FLAIR magnetic resonance.
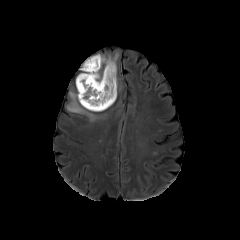
T1-weighted MR.
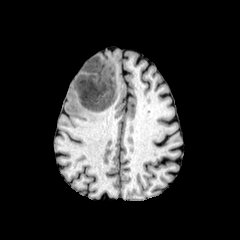
Post-contrast T1-weighted MR image.
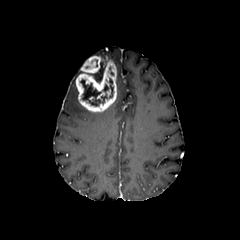
T2-weighted MR image.
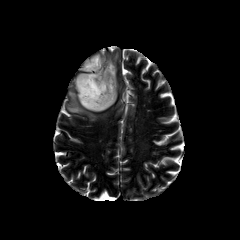
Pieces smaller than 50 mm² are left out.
• peritumoral edema: left=107, top=52, right=118, bottom=70; left=86, top=61, right=105, bottom=82; left=67, top=91, right=98, bottom=121
• necrotic tumor core: left=103, top=78, right=113, bottom=98; left=80, top=79, right=107, bottom=106
• enhancing tumor: left=76, top=56, right=116, bottom=111